Slice 116 of 155; Brain; Axial view
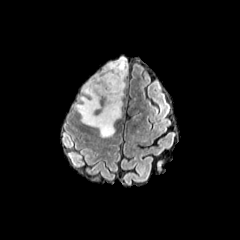
FLAIR magnetic resonance.
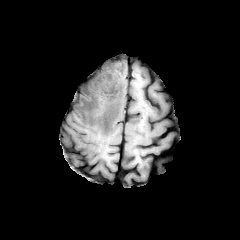
T1-weighted magnetic resonance.
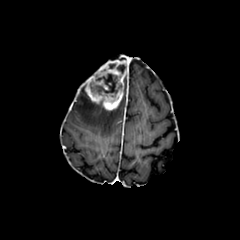
Post-contrast T1-weighted MR image.
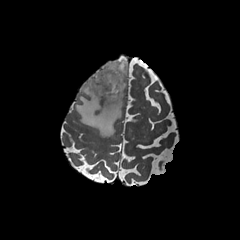
Same slice, T2-weighted MR image.
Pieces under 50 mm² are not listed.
necrotic tumor core — 90 74 121 96, 117 64 125 73
peritumoral edema — 74 85 122 137
enhancing tumor — 84 56 128 110